FLAIR magnetic resonance.
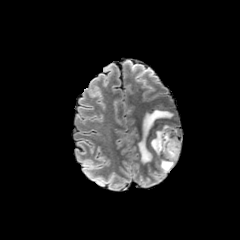
T1-weighted MRI.
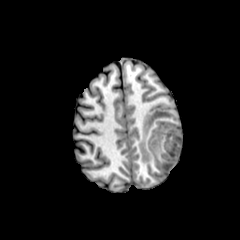
Post-contrast T1-weighted MRI.
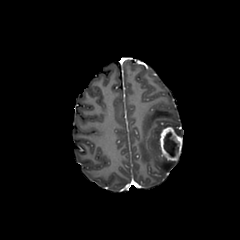
T2-weighted MRI.
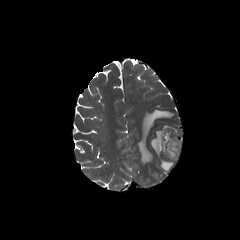
Axial slice.
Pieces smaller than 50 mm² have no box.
enhancing tumor at bbox(159, 126, 182, 160)
peritumoral edema at bbox(138, 109, 173, 163); bbox(150, 124, 181, 155); bbox(159, 156, 176, 172)
necrotic tumor core at bbox(163, 132, 179, 157)